Slice index 77; Axial slice
FLAIR MR image.
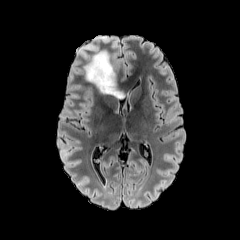
T1-weighted magnetic resonance.
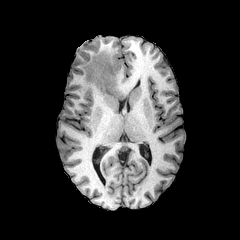
Post-contrast T1-weighted MR.
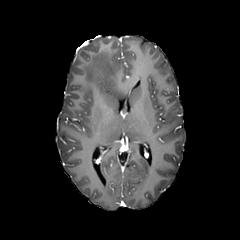
T2-weighted MRI.
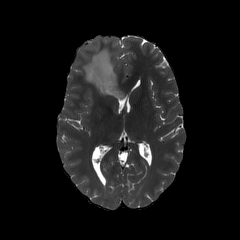
peritumoral_edema:
  - bbox(83, 50, 123, 98)